FLAIR MRI.
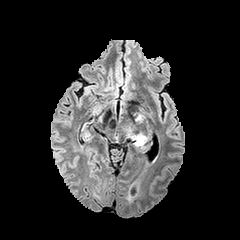
T1-weighted magnetic resonance.
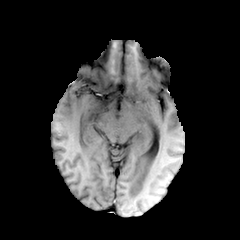
Post-contrast T1-weighted magnetic resonance.
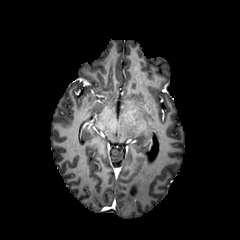
T2-weighted magnetic resonance.
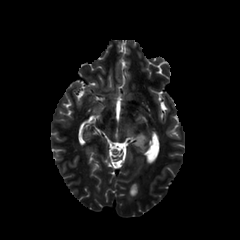
Head, 240x240 px
Findings:
• peritumoral edema: x1=123 y1=120 x2=146 y2=148